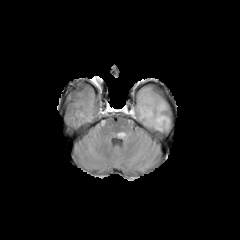
FLAIR MRI.
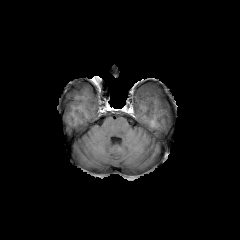
T1-weighted MRI of the same slice.
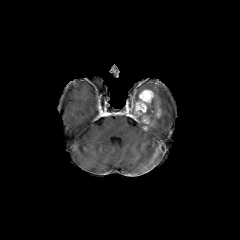
Same slice, post-contrast T1-weighted MRI.
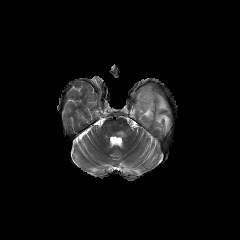
T2-weighted MR.
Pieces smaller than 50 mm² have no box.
<segmentation>
  <enhancing_tumor>(156,101,161,117), (127,89,155,128)</enhancing_tumor>
  <peritumoral_edema>(113,132,130,138), (143,94,169,131)</peritumoral_edema>
</segmentation>